FLAIR magnetic resonance.
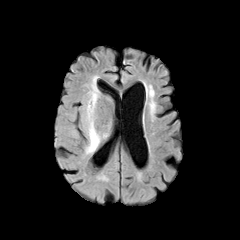
T1-weighted magnetic resonance.
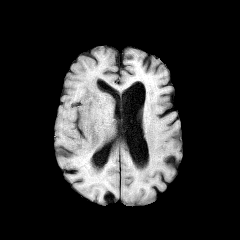
Post-contrast T1-weighted MR image.
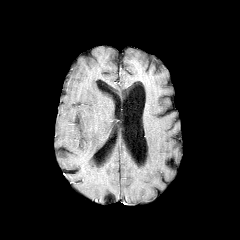
T2-weighted magnetic resonance.
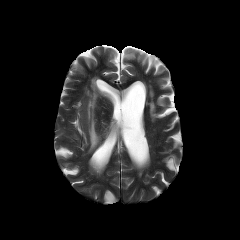
240x240; Head
peritumoral_edema:
  - <box>83,90,106,153</box>